Slice 80 of 155, Image size 240x240, Image width 240 mm, 1.00 mm slice spacing
FLAIR MR.
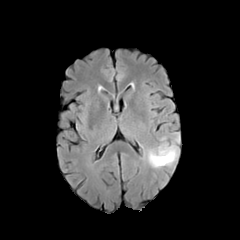
T1-weighted MRI.
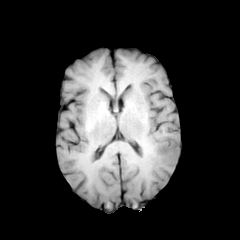
Post-contrast T1-weighted magnetic resonance.
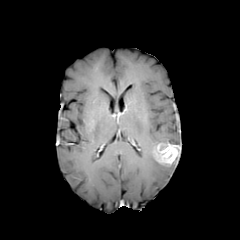
T2-weighted MR image.
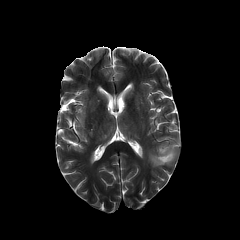
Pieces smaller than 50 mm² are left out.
enhancing tumor = x1=154 y1=143 x2=179 y2=164
peritumoral edema = x1=171 y1=133 x2=179 y2=144, x1=147 y1=149 x2=162 y2=167